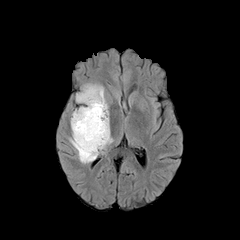
FLAIR magnetic resonance.
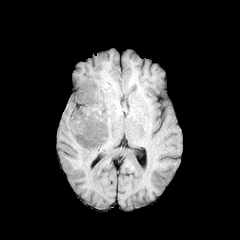
T1-weighted MRI.
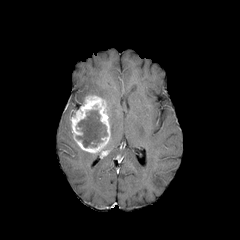
Post-contrast T1-weighted MR.
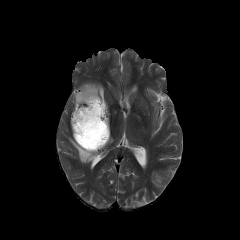
T2-weighted MRI of the same slice.
240x240 px. Brain. Axial slice.
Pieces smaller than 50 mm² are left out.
* peritumoral edema: 102,137,113,151; 69,133,103,163; 75,83,105,103
* necrotic tumor core: 76,110,107,147
* enhancing tumor: 69,95,110,153